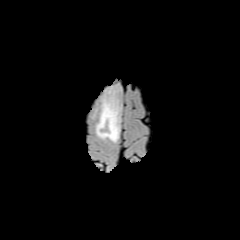
FLAIR MRI.
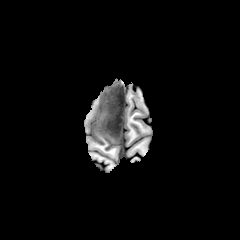
T1-weighted MRI of the same slice.
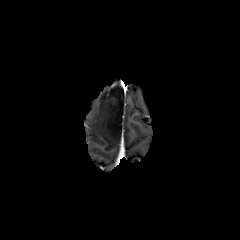
Post-contrast T1-weighted MRI of the same slice.
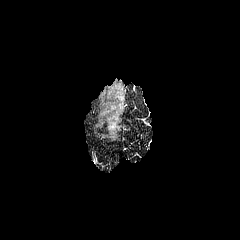
T2-weighted MRI of the same slice.
Head.
<segmentation>
  <peritumoral_edema>[95,84,122,142]</peritumoral_edema>
</segmentation>